Axial slice | Brain
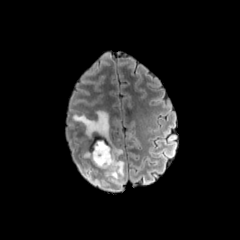
FLAIR MR image.
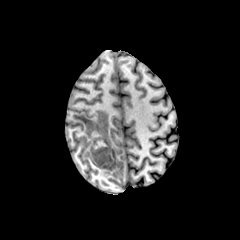
T1-weighted magnetic resonance.
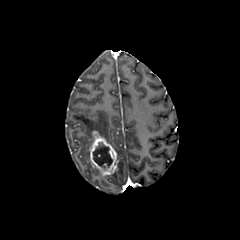
Same slice, post-contrast T1-weighted magnetic resonance.
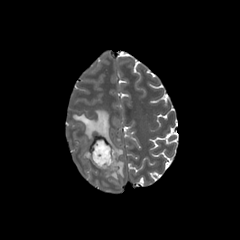
T2-weighted MR image.
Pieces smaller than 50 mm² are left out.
necrotic tumor core at region(93, 142, 112, 167)
enhancing tumor at region(89, 130, 118, 175)
peritumoral edema at region(72, 110, 124, 183)